FLAIR MR.
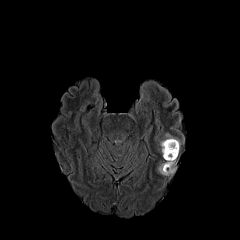
T1-weighted MR.
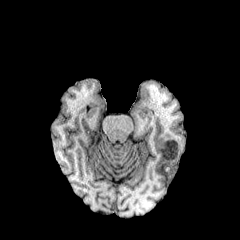
Post-contrast T1-weighted MRI.
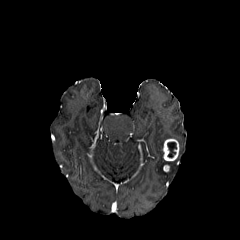
T2-weighted MR image.
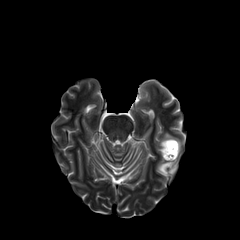
Head. Axial view. 240x240 px.
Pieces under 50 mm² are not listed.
<segmentation>
  <enhancing_tumor>162, 138, 179, 161</enhancing_tumor>
  <necrotic_tumor_core>167, 142, 176, 157</necrotic_tumor_core>
  <peritumoral_edema>157, 159, 177, 177; 159, 133, 184, 153</peritumoral_edema>
</segmentation>